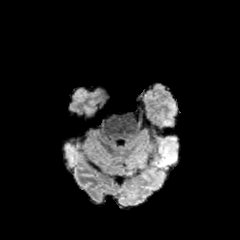
FLAIR MR.
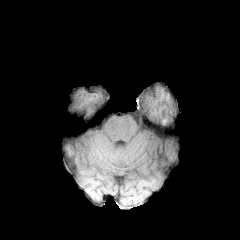
T1-weighted MR.
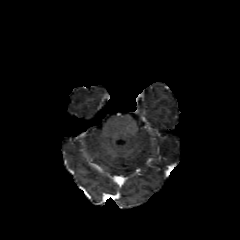
Same slice, post-contrast T1-weighted MR image.
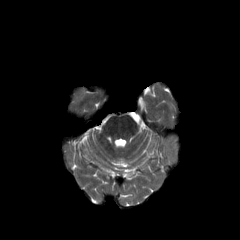
T2-weighted MR of the same slice.
Image size 240x240.
peritumoral edema: bounding box x1=157, y1=138, x2=177, y2=166